Axial slice
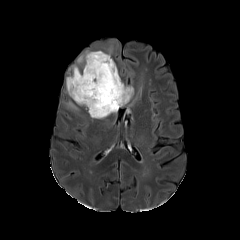
FLAIR MRI.
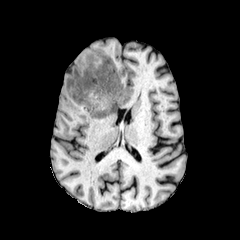
T1-weighted MR.
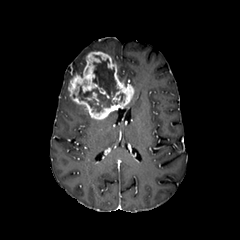
Post-contrast T1-weighted magnetic resonance of the same slice.
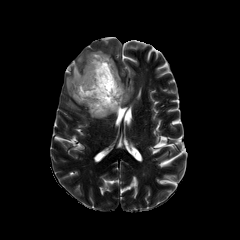
T2-weighted magnetic resonance.
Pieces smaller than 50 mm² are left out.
<segmentation>
  <peritumoral_edema>l=66, t=101, r=78, b=110; l=77, t=51, r=93, b=65; l=66, t=65, r=82, b=95</peritumoral_edema>
  <necrotic_tumor_core>l=78, t=55, r=118, b=111</necrotic_tumor_core>
  <enhancing_tumor>l=68, t=51, r=134, b=119</enhancing_tumor>
</segmentation>